Slice 65 of 155. 240x240.
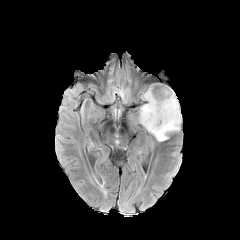
FLAIR MRI.
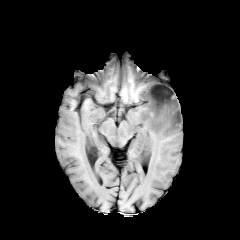
T1-weighted MRI of the same slice.
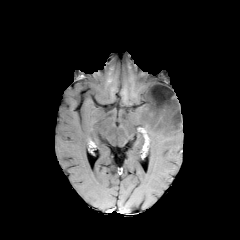
Post-contrast T1-weighted MR.
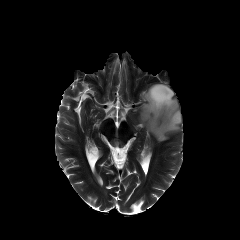
T2-weighted MR of the same slice.
The necrotic tumor core is located at (x1=148, y1=84, x2=175, y2=114). The peritumoral edema is located at (x1=139, y1=85, x2=181, y2=141).